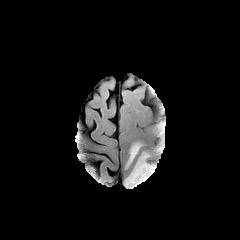
FLAIR MRI.
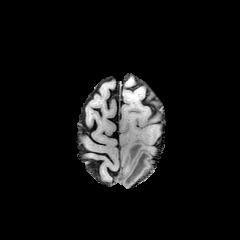
Same slice, T1-weighted MR.
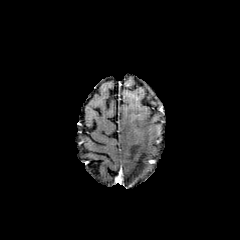
Same slice, post-contrast T1-weighted MR image.
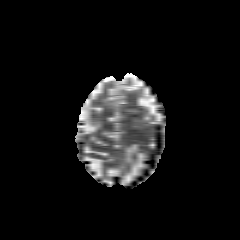
T2-weighted MRI.
Brain | Image size 240x240
peritumoral edema: (124,152,150,185), (127,143,141,166)